FLAIR MR.
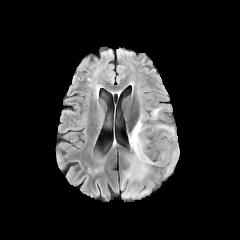
T1-weighted MR image.
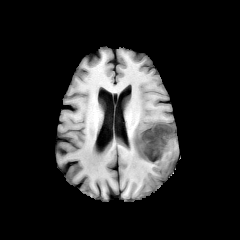
Post-contrast T1-weighted MR.
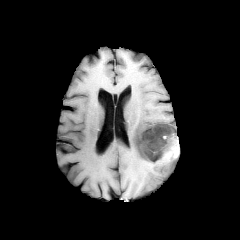
T2-weighted MR.
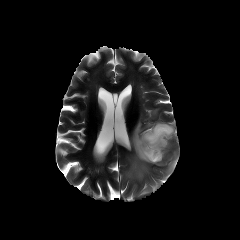
240x240 px; Brain
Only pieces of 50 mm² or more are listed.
The necrotic tumor core is located at region(138, 125, 174, 161). The largest enhancing tumor region is bounded by region(137, 124, 178, 162). The largest peritumoral edema region is located at region(125, 108, 177, 180).